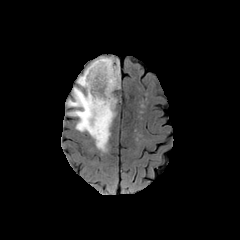
FLAIR MRI.
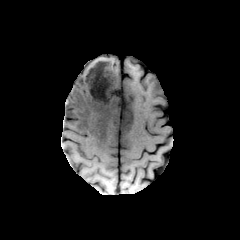
T1-weighted MR.
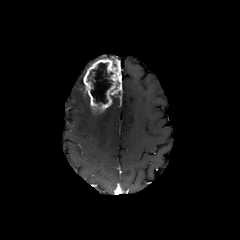
Post-contrast T1-weighted MRI of the same slice.
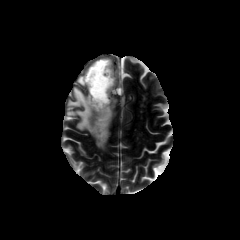
Same slice, T2-weighted magnetic resonance.
Axial view. Head.
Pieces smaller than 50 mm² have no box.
peritumoral_edema:
  - (66,57,117,152)
enhancing_tumor:
  - (83,57,121,113)
necrotic_tumor_core:
  - (88,63,111,103)